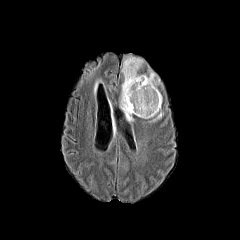
FLAIR MR image.
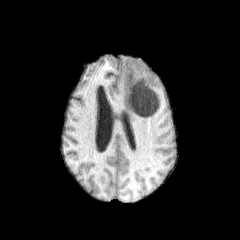
T1-weighted MRI.
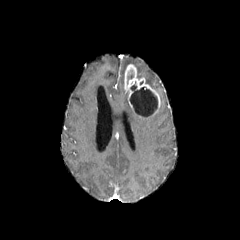
Same slice, post-contrast T1-weighted MR image.
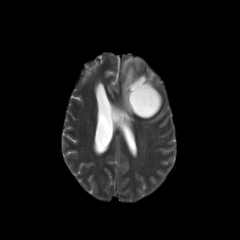
T2-weighted magnetic resonance.
Head, Axial view
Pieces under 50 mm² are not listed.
peritumoral edema: (x1=137, y1=71, x2=162, y2=103), (x1=120, y1=83, x2=133, y2=121), (x1=121, y1=57, x2=141, y2=73) | enhancing tumor: (x1=124, y1=64, x2=160, y2=116) | necrotic tumor core: (x1=129, y1=85, x2=157, y2=117)